Slice index 99, Image covers 240 mm x 240 mm
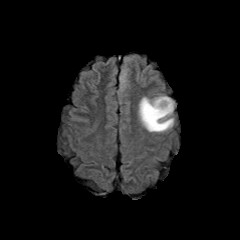
FLAIR MR image.
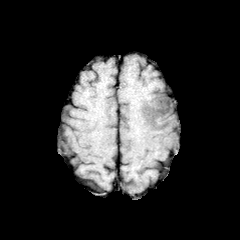
Same slice, T1-weighted MR image.
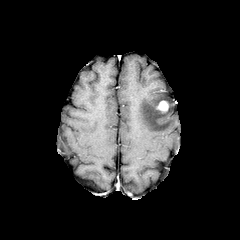
Post-contrast T1-weighted MR image.
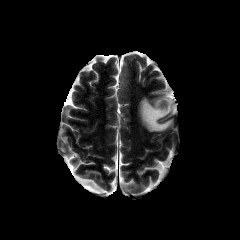
T2-weighted MR.
The enhancing tumor lies within [x1=156, y1=100, x2=168, y2=112]. The peritumoral edema appears at [x1=138, y1=95, x2=173, y2=132].